Brain. Image covers 240 mm x 240 mm. Axial slice. 240x240.
FLAIR MRI.
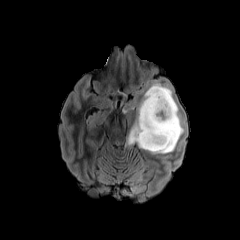
T1-weighted MR.
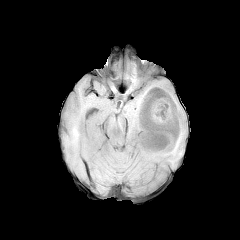
Post-contrast T1-weighted MRI.
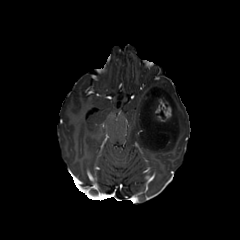
T2-weighted magnetic resonance.
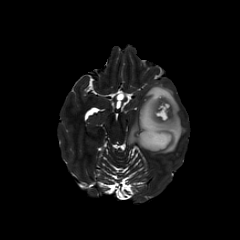
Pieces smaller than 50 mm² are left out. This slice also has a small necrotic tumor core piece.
<segmentation>
  <enhancing_tumor>151, 96, 171, 123</enhancing_tumor>
  <peritumoral_edema>127, 84, 184, 153</peritumoral_edema>
</segmentation>